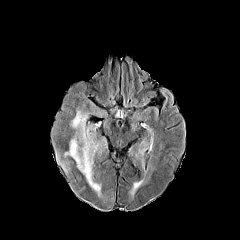
FLAIR MR.
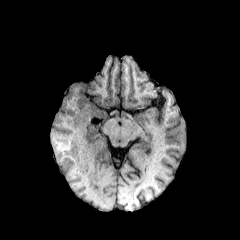
T1-weighted MRI.
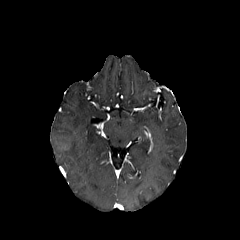
Post-contrast T1-weighted MR of the same slice.
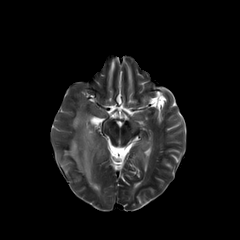
T2-weighted magnetic resonance of the same slice.
240x240
2 peritumoral edema regions are located at x1=68 y1=165 x2=79 y2=177, x1=57 y1=111 x2=104 y2=195.